Axial view, Slice index 46
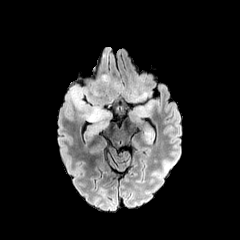
FLAIR magnetic resonance.
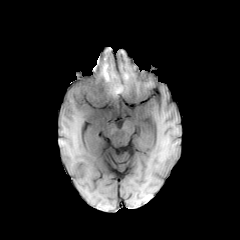
T1-weighted MRI.
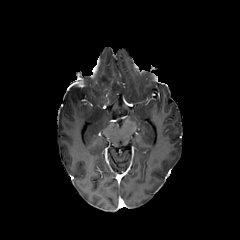
Post-contrast T1-weighted MR of the same slice.
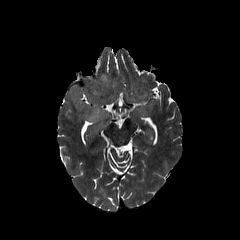
T2-weighted MR.
{"peritumoral_edema": ["l=71, t=75, r=154, b=125", "l=129, t=100, r=155, b=120"]}